Slice index 115. Axial slice. Head.
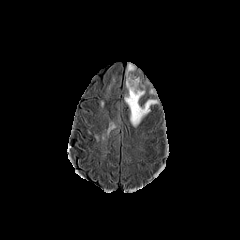
FLAIR MR image.
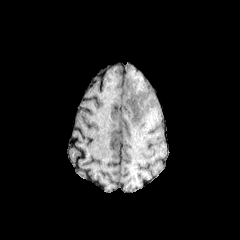
Same slice, T1-weighted MR.
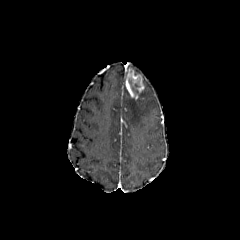
Post-contrast T1-weighted MR.
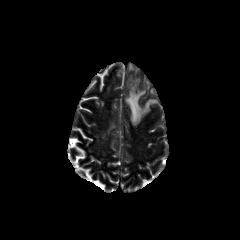
T2-weighted magnetic resonance.
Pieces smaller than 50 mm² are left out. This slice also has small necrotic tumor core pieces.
{
  "enhancing_tumor": [
    "x1=126 y1=69 x2=144 y2=98"
  ],
  "peritumoral_edema": [
    "x1=124 y1=89 x2=157 y2=126"
  ]
}